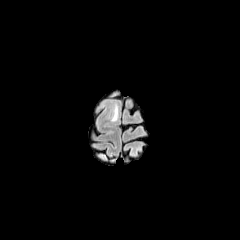
FLAIR MRI.
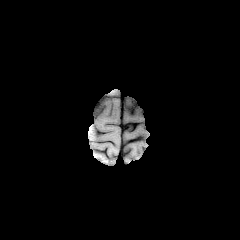
T1-weighted magnetic resonance.
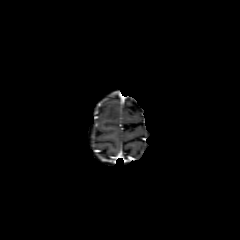
Post-contrast T1-weighted MR of the same slice.
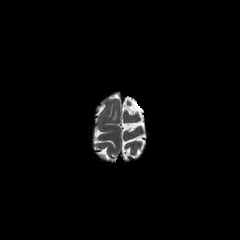
T2-weighted MR.
Head, Axial slice
The peritumoral edema appears at box(112, 105, 117, 120).